FLAIR MR image.
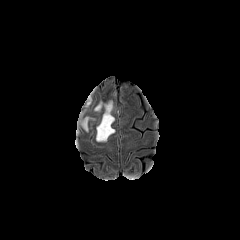
T1-weighted MR image.
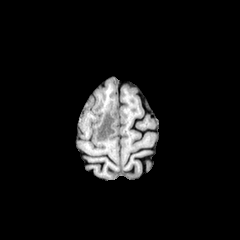
Post-contrast T1-weighted MRI.
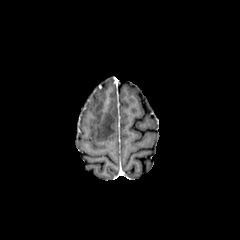
T2-weighted MR image.
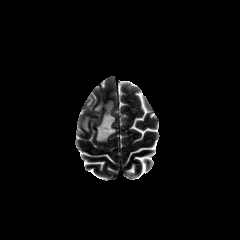
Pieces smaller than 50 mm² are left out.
The 2 largest peritumoral edema regions appear at [x1=82, y1=117, x2=88, y2=131], [x1=96, y1=101, x2=115, y2=141].